Image width 240 mm, 1.00 mm slice spacing. Head.
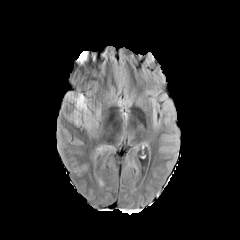
FLAIR MR image.
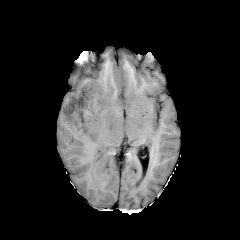
T1-weighted magnetic resonance.
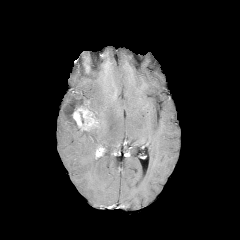
Post-contrast T1-weighted MRI of the same slice.
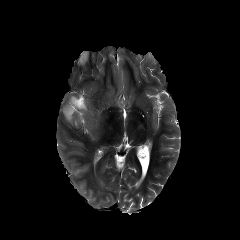
T2-weighted magnetic resonance of the same slice.
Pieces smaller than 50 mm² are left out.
Annotated regions:
• peritumoral edema: 88, 124, 98, 132; 89, 107, 99, 119
• necrotic tumor core: 64, 96, 84, 125
• enhancing tumor: 60, 93, 97, 130